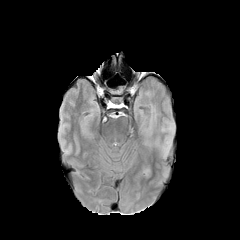
FLAIR magnetic resonance.
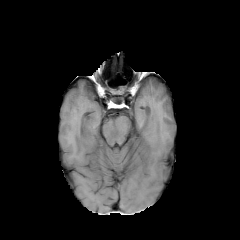
Same slice, T1-weighted MRI.
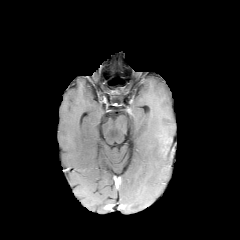
Post-contrast T1-weighted magnetic resonance.
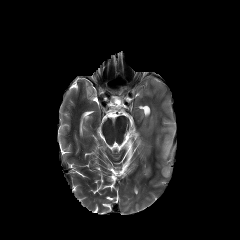
T2-weighted magnetic resonance.
Axial plane
Findings:
• peritumoral edema: {"x1": 162, "y1": 136, "x2": 171, "y2": 158}